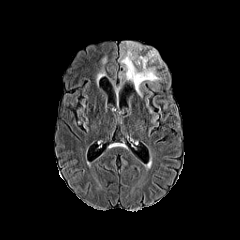
FLAIR MR.
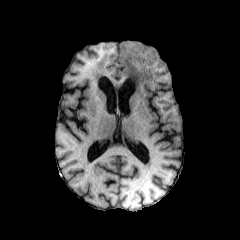
T1-weighted MR image.
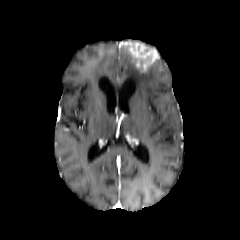
Post-contrast T1-weighted MR image of the same slice.
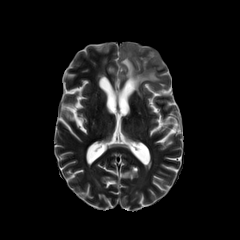
T2-weighted magnetic resonance.
Axial slice; Brain; 240x240
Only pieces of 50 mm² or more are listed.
{"enhancing_tumor": ["bbox=[119, 41, 159, 71]"], "peritumoral_edema": ["bbox=[120, 47, 160, 96]"]}